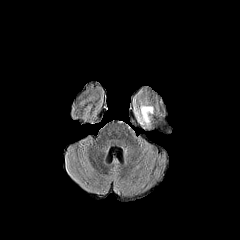
FLAIR MR.
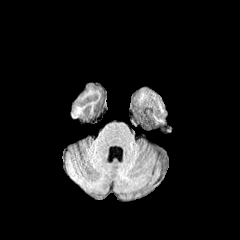
Same slice, T1-weighted MR.
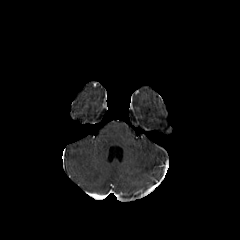
Same slice, post-contrast T1-weighted magnetic resonance.
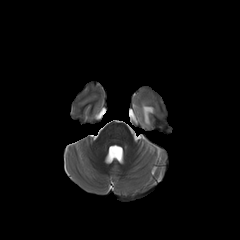
T2-weighted MR image.
Head
The peritumoral edema appears at box=[134, 102, 153, 126].